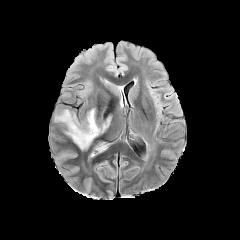
FLAIR MR image.
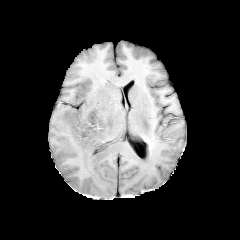
Same slice, T1-weighted MR.
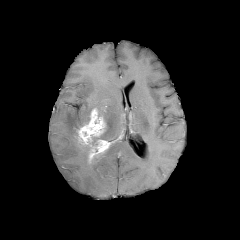
Post-contrast T1-weighted MR of the same slice.
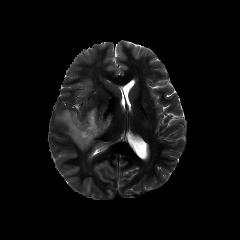
T2-weighted MR.
Axial slice. Image size 240x240.
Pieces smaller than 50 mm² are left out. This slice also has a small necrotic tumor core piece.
2 enhancing tumor regions are located at 89 140 109 159, 77 108 105 144. The 2 largest peritumoral edema regions are located at 55 109 92 150, 104 116 111 130.